FLAIR MR.
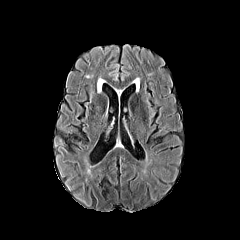
T1-weighted magnetic resonance.
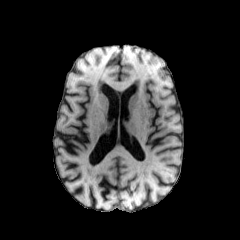
Post-contrast T1-weighted MR.
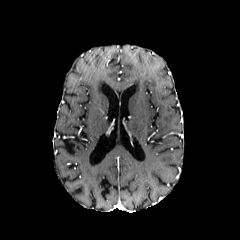
T2-weighted MR.
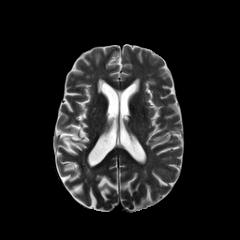
Axial plane; Image size 240x240; Brain
peritumoral_edema:
  - <box>98,78,104,91</box>